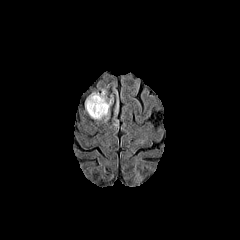
FLAIR magnetic resonance.
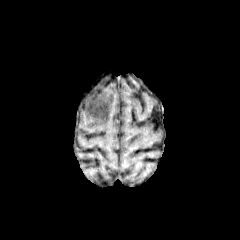
T1-weighted MRI of the same slice.
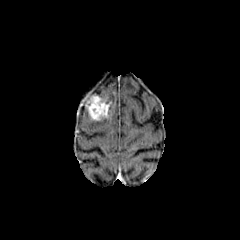
Same slice, post-contrast T1-weighted MR image.
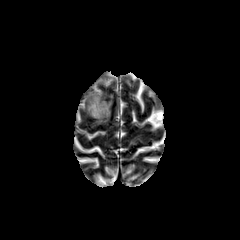
T2-weighted MRI.
Head; 240x240 px
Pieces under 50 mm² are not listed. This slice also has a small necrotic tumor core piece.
The enhancing tumor is located at (85, 94, 111, 120). The largest peritumoral edema region lies within (111, 101, 118, 126).